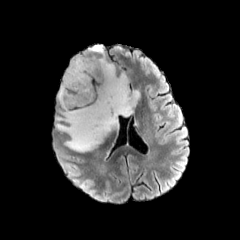
FLAIR MR image.
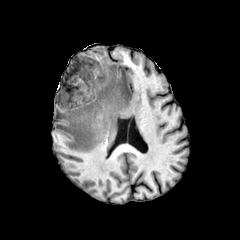
T1-weighted magnetic resonance.
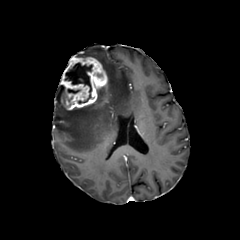
Post-contrast T1-weighted MR image.
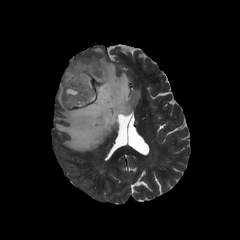
T2-weighted magnetic resonance.
Head. 240x240.
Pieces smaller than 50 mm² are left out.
The largest necrotic tumor core region is at (65,63,92,103). The 2 largest peritumoral edema regions are located at (89,45,103,53), (56,56,139,151). The largest enhancing tumor region is bounded by (60,56,107,109).